Image width 240 mm, 1.00 mm slice spacing. Head. Slice index 93.
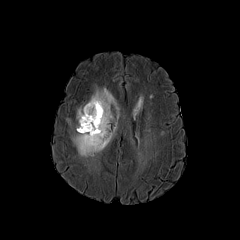
FLAIR magnetic resonance.
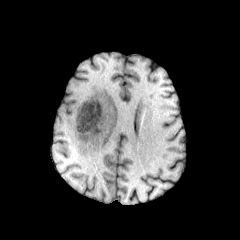
T1-weighted MR image.
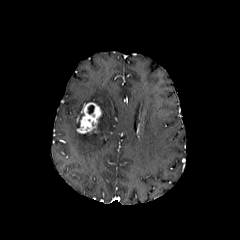
Post-contrast T1-weighted MR image.
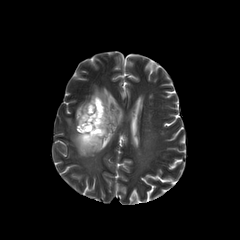
T2-weighted magnetic resonance of the same slice.
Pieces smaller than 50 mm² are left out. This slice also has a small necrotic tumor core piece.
The 2 largest peritumoral edema regions are located at (76, 106, 83, 130), (71, 87, 118, 157). The enhancing tumor is at (77, 102, 101, 133).